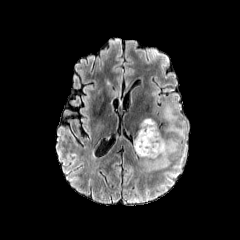
FLAIR MRI.
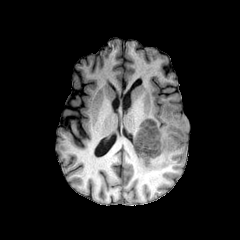
T1-weighted MR image of the same slice.
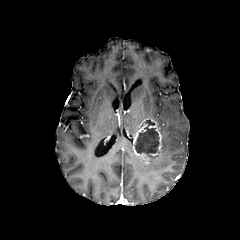
Post-contrast T1-weighted MR.
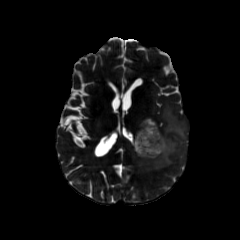
T2-weighted magnetic resonance.
Head | 240x240 px
The enhancing tumor lies within rect(133, 118, 162, 163). The necrotic tumor core is bounded by rect(135, 120, 159, 154). The peritumoral edema is bounded by rect(143, 104, 187, 170).